Brain
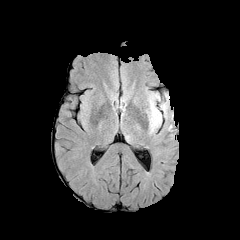
FLAIR magnetic resonance.
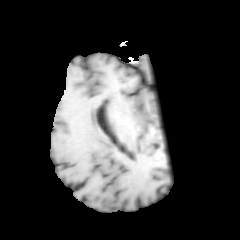
T1-weighted MRI.
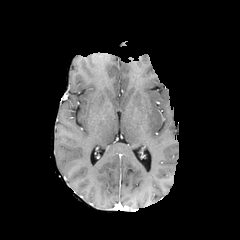
Post-contrast T1-weighted magnetic resonance.
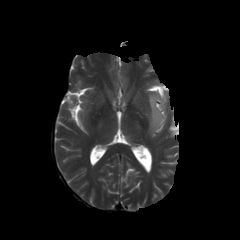
Same slice, T2-weighted MR image.
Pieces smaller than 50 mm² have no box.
peritumoral edema — region(146, 92, 161, 133)